FLAIR MR image.
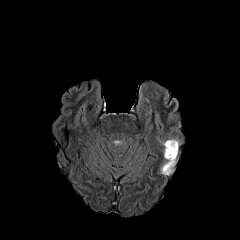
T1-weighted magnetic resonance.
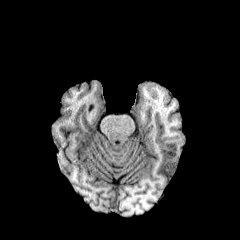
Post-contrast T1-weighted MRI.
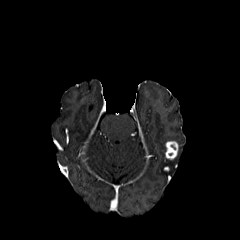
T2-weighted MR.
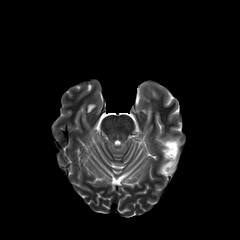
Axial view; Brain
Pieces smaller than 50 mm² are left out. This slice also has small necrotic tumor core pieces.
peritumoral edema at (159,134,182,158), (160,157,177,175)
enhancing tumor at (165,141,178,159)